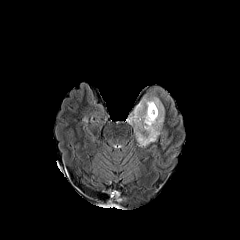
FLAIR MR image.
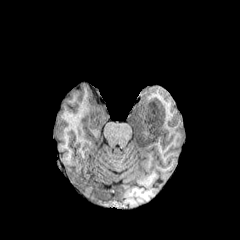
T1-weighted MR.
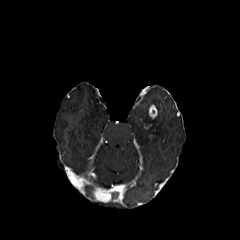
Post-contrast T1-weighted MR.
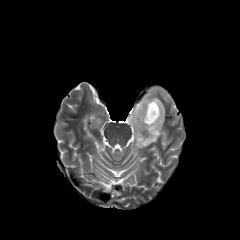
T2-weighted MRI.
Brain
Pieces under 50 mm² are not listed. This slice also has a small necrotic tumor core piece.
enhancing tumor = bbox(148, 104, 157, 119)
peritumoral edema = bbox(127, 93, 164, 146)